FLAIR MR.
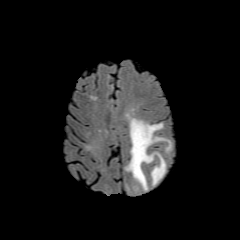
T1-weighted MRI.
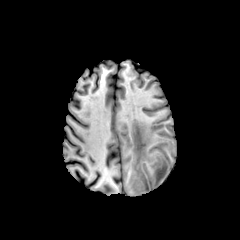
Post-contrast T1-weighted magnetic resonance.
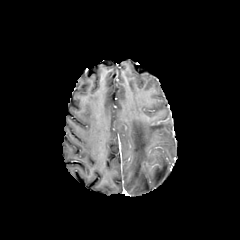
T2-weighted MRI.
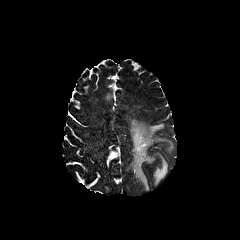
Head.
{
  "peritumoral_edema": [
    "x1=126 y1=118 x2=172 y2=190"
  ]
}